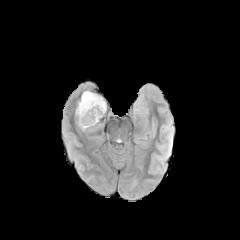
FLAIR magnetic resonance.
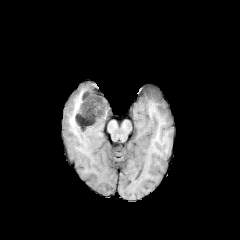
Same slice, T1-weighted magnetic resonance.
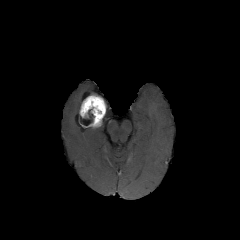
Post-contrast T1-weighted MR image.
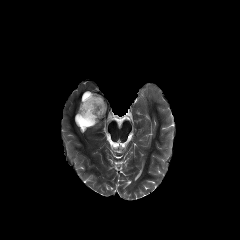
T2-weighted MRI.
Image size 240x240
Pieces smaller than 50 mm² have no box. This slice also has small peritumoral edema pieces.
enhancing tumor: l=79, t=93, r=106, b=127
necrotic tumor core: l=80, t=109, r=93, b=125